Slice index 78
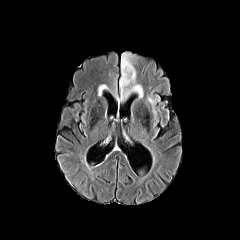
FLAIR MRI.
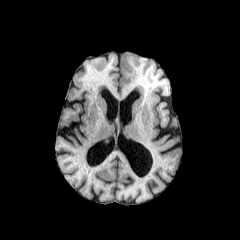
T1-weighted MR image of the same slice.
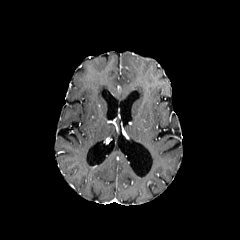
Post-contrast T1-weighted MR image.
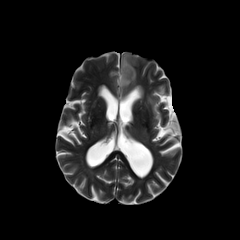
T2-weighted MR image.
<segmentation>
  <peritumoral_edema>x1=147, y1=97, x2=157, y2=115; x1=119, y1=53, x2=143, y2=99</peritumoral_edema>
</segmentation>